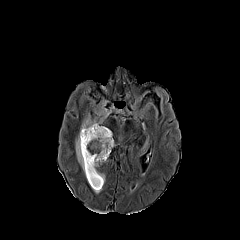
FLAIR MRI.
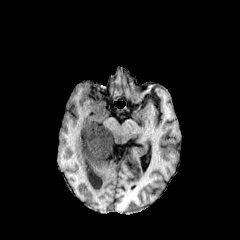
Same slice, T1-weighted magnetic resonance.
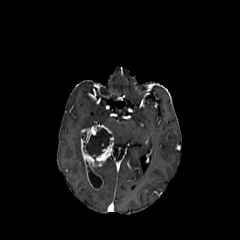
Post-contrast T1-weighted magnetic resonance.
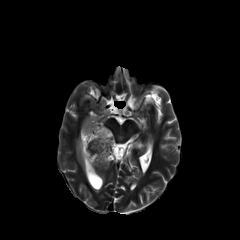
Same slice, T2-weighted MRI.
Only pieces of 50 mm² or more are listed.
The 2 largest peritumoral edema regions appear at (81, 115, 98, 129), (75, 130, 85, 174). The largest enhancing tumor region is bounded by (80, 124, 113, 190). The 2 largest necrotic tumor core regions appear at (83, 128, 111, 162), (87, 167, 101, 188).